240x240; Axial slice; Brain; Image width 240 mm
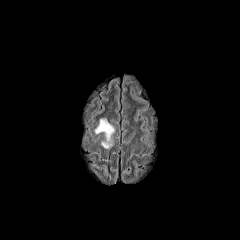
FLAIR MR image.
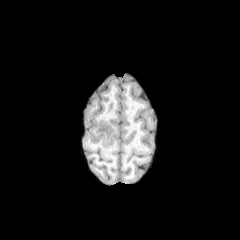
T1-weighted MR of the same slice.
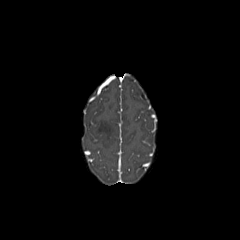
Same slice, post-contrast T1-weighted MRI.
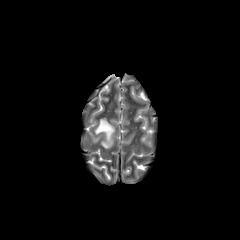
T2-weighted MRI.
The peritumoral edema is at [94,118,114,148].